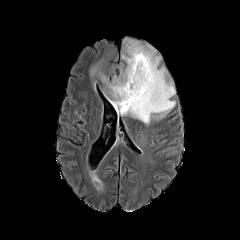
FLAIR MRI.
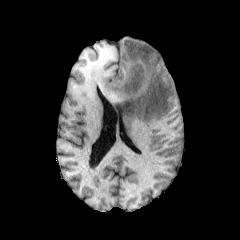
T1-weighted MRI.
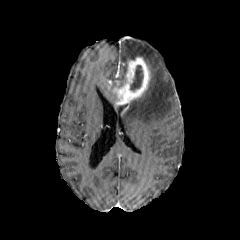
Post-contrast T1-weighted MRI.
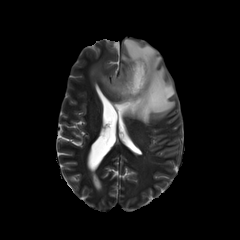
T2-weighted MR image.
240x240, Head
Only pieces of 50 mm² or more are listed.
{
  "enhancing_tumor": [
    "[x1=113, y1=57, x2=150, y2=113]"
  ],
  "necrotic_tumor_core": [
    "[x1=130, y1=65, x2=143, y2=90]"
  ],
  "peritumoral_edema": [
    "[x1=116, y1=37, x2=176, y2=126]",
    "[x1=87, y1=60, x2=126, y2=105]"
  ]
}